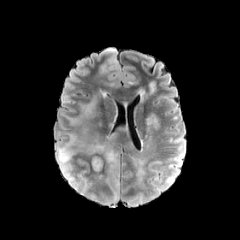
FLAIR MR image.
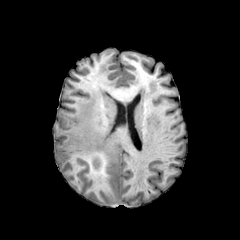
T1-weighted MR image of the same slice.
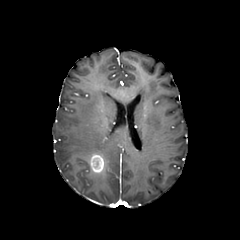
Post-contrast T1-weighted MR image of the same slice.
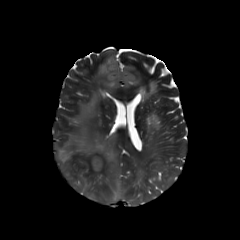
T2-weighted MR.
Axial plane | Brain
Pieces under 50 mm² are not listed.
enhancing tumor: l=90, t=154, r=103, b=172
peritumoral edema: l=56, t=134, r=118, b=201; l=70, t=99, r=95, b=123